FLAIR MR image.
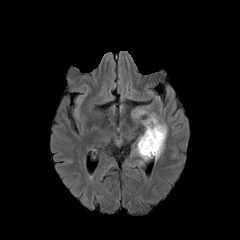
T1-weighted magnetic resonance.
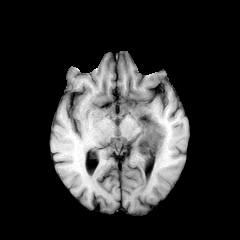
Post-contrast T1-weighted MR image.
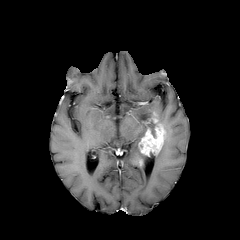
T2-weighted magnetic resonance.
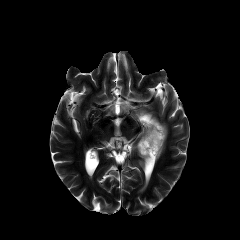
Axial plane.
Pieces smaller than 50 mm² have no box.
enhancing tumor: bounding box x1=138, y1=112, x2=167, y2=156
necrotic tumor core: bounding box x1=148, y1=121, x2=156, y2=137
peritumoral edema: bounding box x1=133, y1=108, x2=152, y2=118; x1=155, y1=136, x2=166, y2=160; x1=134, y1=125, x2=149, y2=161